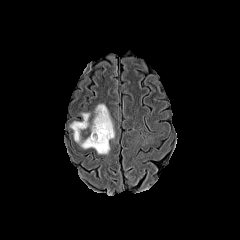
FLAIR MR.
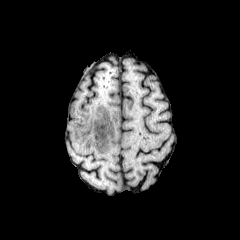
Same slice, T1-weighted MR image.
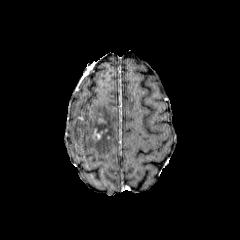
Same slice, post-contrast T1-weighted MR.
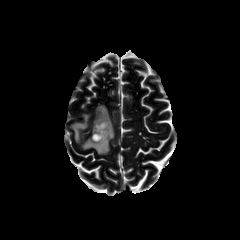
T2-weighted MRI of the same slice.
Brain
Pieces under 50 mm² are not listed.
{
  "enhancing_tumor": [
    "(left=93, top=129, right=103, bottom=140)"
  ],
  "peritumoral_edema": [
    "(left=81, top=104, right=114, bottom=154)",
    "(left=70, top=113, right=89, bottom=142)"
  ]
}